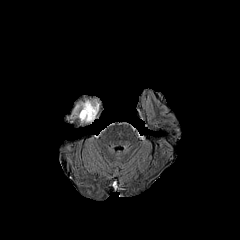
FLAIR MR.
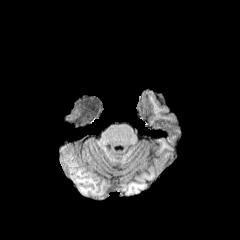
Same slice, T1-weighted MRI.
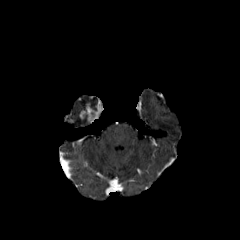
Same slice, post-contrast T1-weighted magnetic resonance.
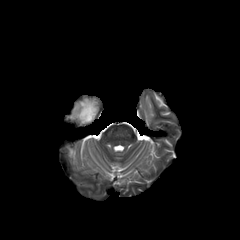
T2-weighted MR image.
Axial view; Head
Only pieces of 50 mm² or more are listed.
• peritumoral edema: (x1=70, y1=100, x2=97, y2=118)
• enhancing tumor: (x1=79, y1=100, x2=102, y2=122)